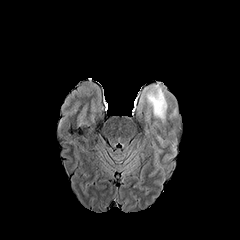
FLAIR MRI.
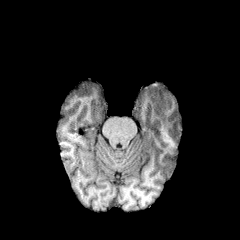
T1-weighted magnetic resonance.
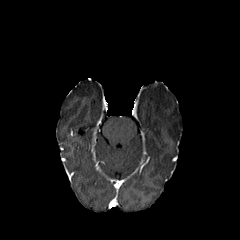
Post-contrast T1-weighted MR.
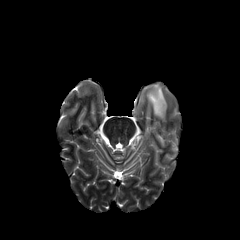
T2-weighted MR of the same slice.
240x240
2 peritumoral edema regions are bounded by region(141, 84, 167, 121); region(172, 138, 178, 156).